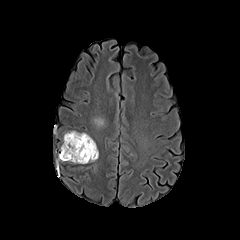
FLAIR magnetic resonance.
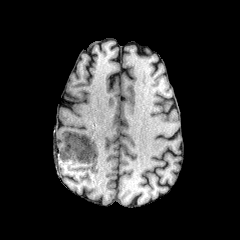
T1-weighted magnetic resonance.
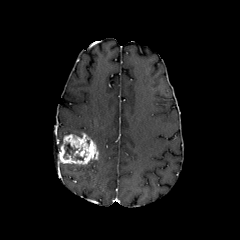
Same slice, post-contrast T1-weighted MR.
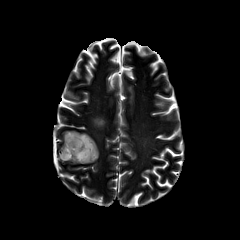
T2-weighted magnetic resonance of the same slice.
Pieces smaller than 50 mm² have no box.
The 2 largest peritumoral edema regions are bounded by <bbox>92, 117, 104, 127</bbox>, <bbox>64, 131, 82, 137</bbox>. The enhancing tumor is located at <bbox>58, 133, 98, 164</bbox>. The largest necrotic tumor core region is located at <bbox>64, 143, 77, 157</bbox>.